FLAIR magnetic resonance.
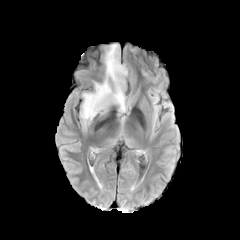
T1-weighted MR.
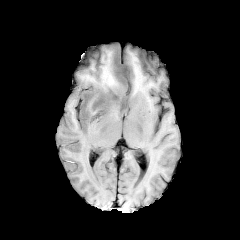
Post-contrast T1-weighted MR.
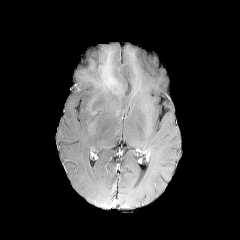
T2-weighted magnetic resonance.
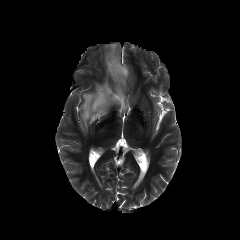
Axial plane; Image size 240x240
Annotated regions:
- peritumoral edema: 80, 42, 128, 134